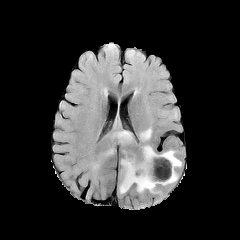
FLAIR MR image.
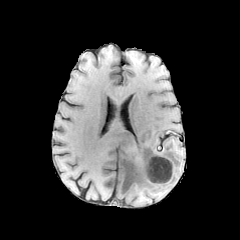
T1-weighted magnetic resonance of the same slice.
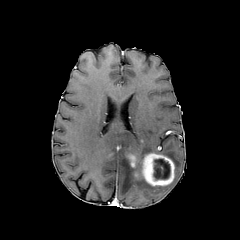
Post-contrast T1-weighted magnetic resonance.
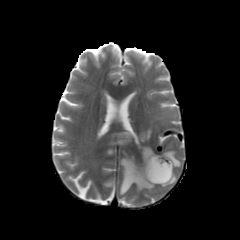
Same slice, T2-weighted magnetic resonance.
Brain.
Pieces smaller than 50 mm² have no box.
The necrotic tumor core lies within {"x1": 153, "y1": 159, "x2": 170, "y2": 179}. The 2 largest enhancing tumor regions are bounded by {"x1": 133, "y1": 153, "x2": 174, "y2": 185}, {"x1": 127, "y1": 152, "x2": 136, "y2": 167}. The 5 largest peritumoral edema regions are bounded by {"x1": 114, "y1": 131, "x2": 133, "y2": 143}, {"x1": 139, "y1": 127, "x2": 152, "y2": 141}, {"x1": 159, "y1": 150, "x2": 181, "y2": 168}, {"x1": 119, "y1": 155, "x2": 155, "y2": 194}, {"x1": 142, "y1": 145, "x2": 154, "y2": 156}.